FLAIR MR image.
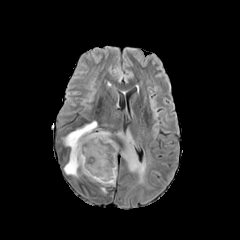
T1-weighted MR.
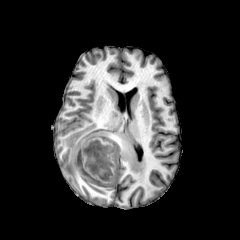
Post-contrast T1-weighted MR image.
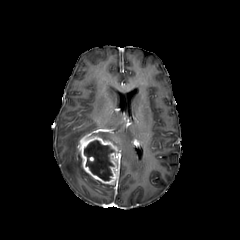
T2-weighted MR.
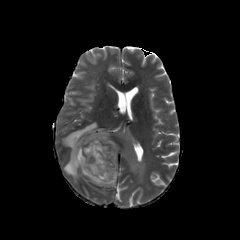
Axial plane
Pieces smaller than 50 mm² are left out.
- necrotic tumor core: [x1=84, y1=140, x2=114, y2=180]
- peritumoral edema: [x1=94, y1=132, x2=112, y2=141], [x1=63, y1=121, x2=112, y2=192], [x1=116, y1=129, x2=146, y2=182]
- enhancing tumor: [x1=77, y1=134, x2=119, y2=184]